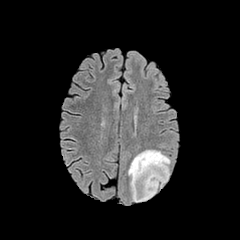
FLAIR magnetic resonance.
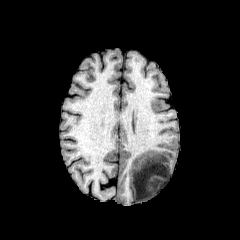
Same slice, T1-weighted MR image.
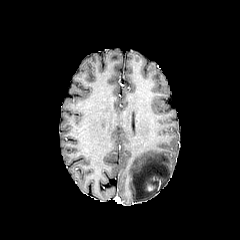
Same slice, post-contrast T1-weighted MR image.
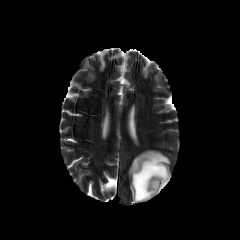
T2-weighted MR image.
Axial slice
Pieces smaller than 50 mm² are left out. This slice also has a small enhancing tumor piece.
peritumoral edema: rect(128, 150, 170, 201)